FLAIR MR image.
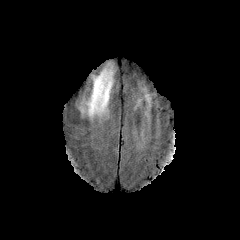
T1-weighted MR.
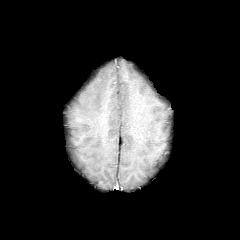
Post-contrast T1-weighted MR image.
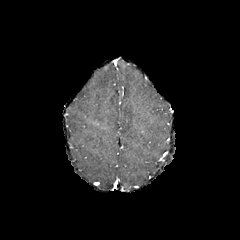
T2-weighted MR.
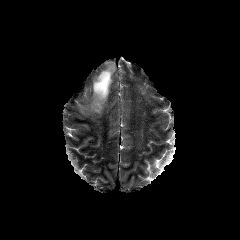
Head
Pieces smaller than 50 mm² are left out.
peritumoral_edema:
  - region(87, 66, 113, 115)